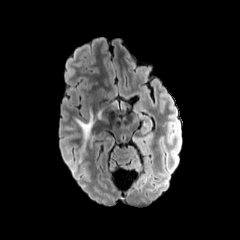
FLAIR MR.
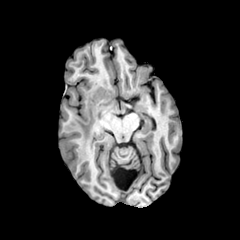
T1-weighted MRI.
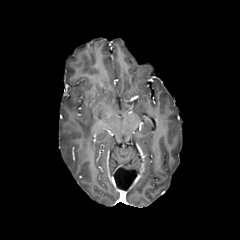
Same slice, post-contrast T1-weighted magnetic resonance.
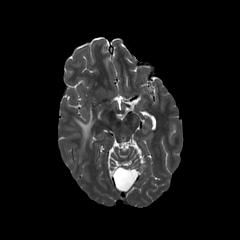
T2-weighted magnetic resonance of the same slice.
Head. Image size 240x240.
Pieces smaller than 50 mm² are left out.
peritumoral edema: 74 109 96 139